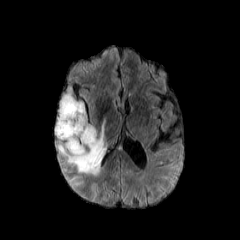
FLAIR MRI.
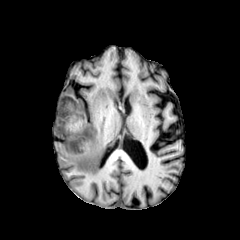
T1-weighted MR.
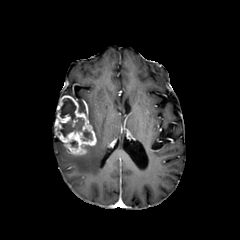
Post-contrast T1-weighted MR image.
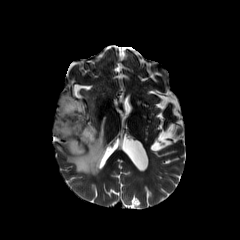
Same slice, T2-weighted MR image.
Axial view. 240x240. Head.
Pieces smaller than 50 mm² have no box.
The 2 largest necrotic tumor core regions are bounded by 58 98 84 136, 83 130 92 140. The largest enhancing tumor region lies within 55 95 96 155. The 2 largest peritumoral edema regions are located at 57 121 106 175, 77 101 85 113.